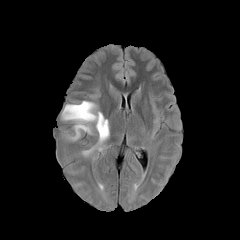
FLAIR magnetic resonance.
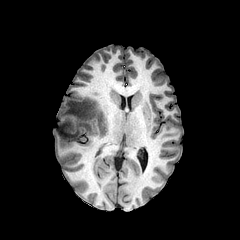
T1-weighted MRI.
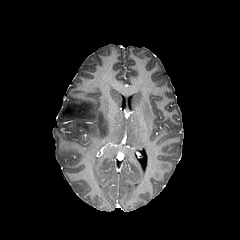
Post-contrast T1-weighted MR of the same slice.
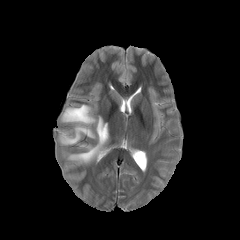
T2-weighted MR of the same slice.
Image size 240x240.
peritumoral edema = (left=61, top=101, right=109, bottom=158)